FLAIR MRI.
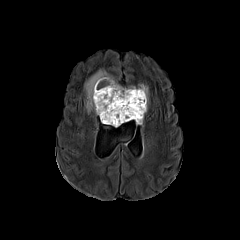
T1-weighted MRI.
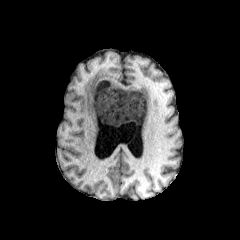
Post-contrast T1-weighted MR image.
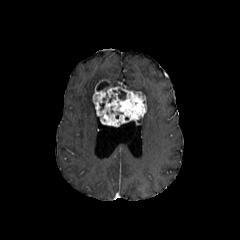
T2-weighted MR.
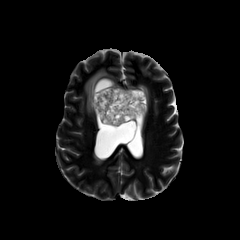
240x240 px. Axial plane.
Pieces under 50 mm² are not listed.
peritumoral edema at [84,69,119,112], [127,84,148,109]
enhancing tumor at [92,79,146,126]
necrotic tumor core at [118,89,125,99], [97,81,111,90]